FLAIR MR.
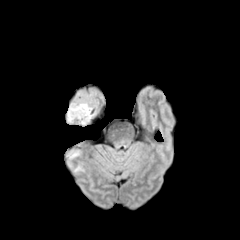
T1-weighted MR image.
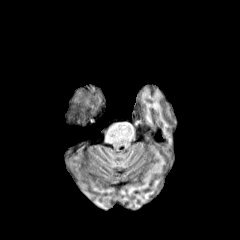
Post-contrast T1-weighted MRI.
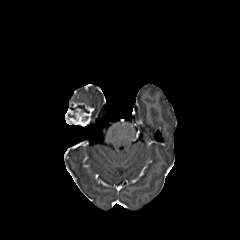
T2-weighted magnetic resonance.
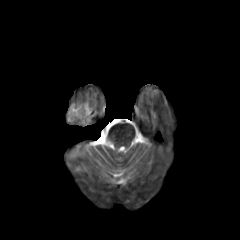
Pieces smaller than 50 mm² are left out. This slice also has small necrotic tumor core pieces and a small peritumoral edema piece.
enhancing tumor at [66,102,93,125]